Head; Slice index 126
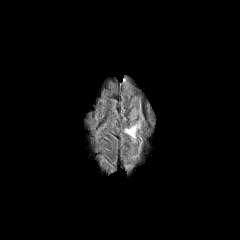
FLAIR MRI.
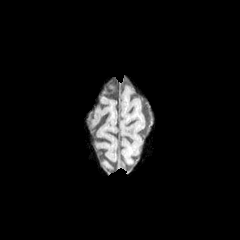
T1-weighted MR of the same slice.
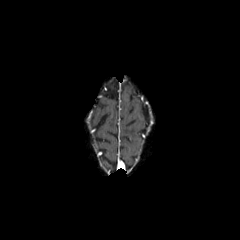
Post-contrast T1-weighted MR image of the same slice.
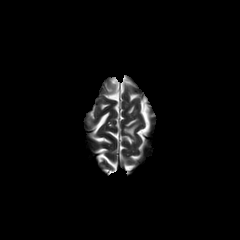
T2-weighted MR of the same slice.
The peritumoral edema is located at rect(124, 125, 136, 138).